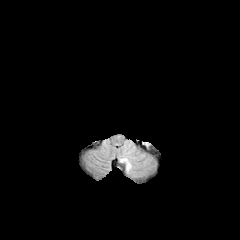
FLAIR magnetic resonance.
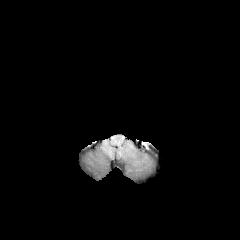
Same slice, T1-weighted MR image.
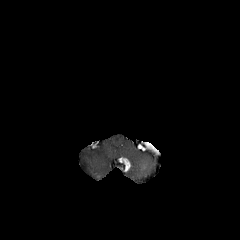
Post-contrast T1-weighted MRI.
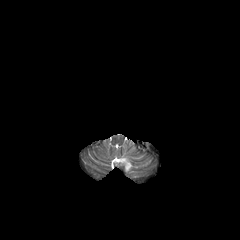
T2-weighted MR.
240x240 px.
peritumoral_edema:
  - left=117, top=141, right=154, bottom=177
enhancing_tumor:
  - left=119, top=157, right=130, bottom=171